240x240.
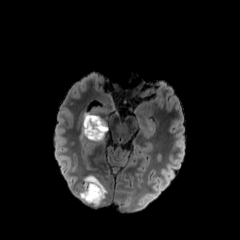
FLAIR MR.
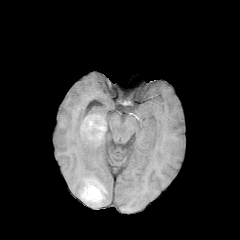
T1-weighted MRI.
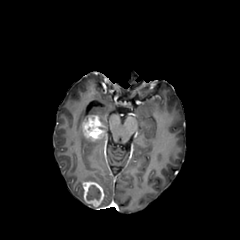
Same slice, post-contrast T1-weighted MR.
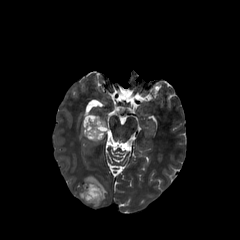
T2-weighted MR.
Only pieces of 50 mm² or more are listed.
necrotic_tumor_core:
  - [86, 185, 100, 200]
peritumoral_edema:
  - [84, 176, 107, 199]
  - [81, 126, 104, 142]
  - [96, 115, 108, 131]
enhancing_tumor:
  - [82, 115, 105, 140]
  - [83, 181, 104, 206]